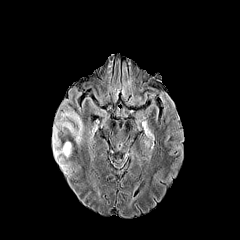
FLAIR magnetic resonance.
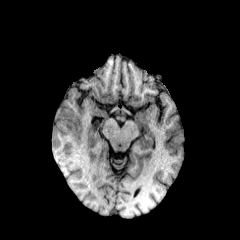
T1-weighted magnetic resonance.
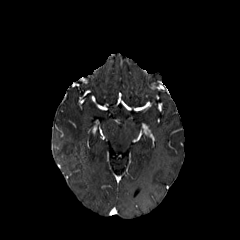
Post-contrast T1-weighted MRI of the same slice.
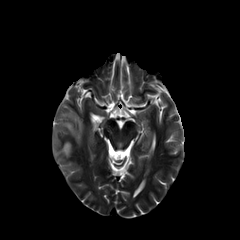
T2-weighted MR.
Brain | Axial view | 240x240
peritumoral edema: {"x1": 60, "y1": 112, "x2": 82, "y2": 142}, {"x1": 52, "y1": 128, "x2": 71, "y2": 156}